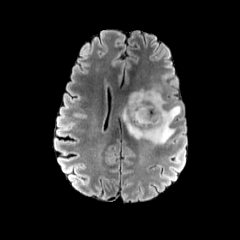
FLAIR magnetic resonance.
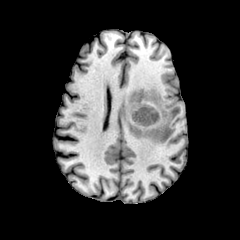
T1-weighted MR image of the same slice.
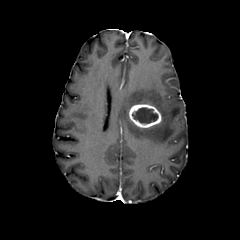
Post-contrast T1-weighted magnetic resonance.
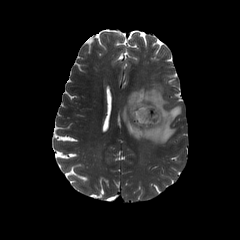
T2-weighted MR.
Head
<segmentation>
  <necrotic_tumor_core>box(132, 107, 158, 123)</necrotic_tumor_core>
  <enhancing_tumor>box(129, 104, 161, 127)</enhancing_tumor>
  <peritumoral_edema>box(121, 85, 181, 144)</peritumoral_edema>
</segmentation>